FLAIR MR image.
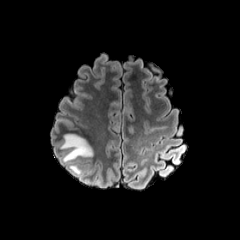
T1-weighted MR image.
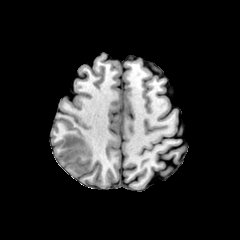
Post-contrast T1-weighted MR.
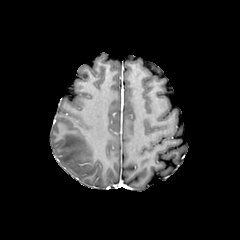
T2-weighted MRI.
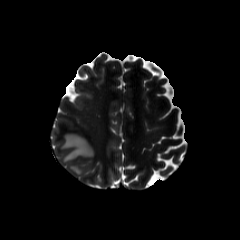
Axial view.
<segmentation>
  <peritumoral_edema>x1=69, y1=165, x2=82, y2=174; x1=60, y1=133, x2=93, y2=162</peritumoral_edema>
</segmentation>